Head | Axial plane | Image size 240x240
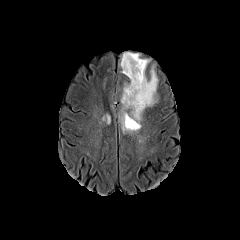
FLAIR MR image.
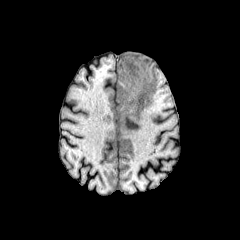
T1-weighted MR.
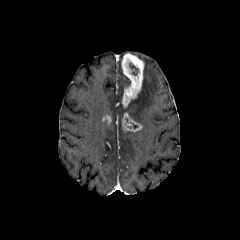
Same slice, post-contrast T1-weighted MR.
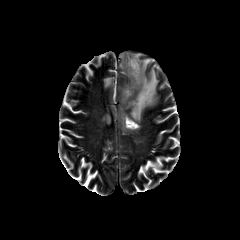
Same slice, T2-weighted MR image.
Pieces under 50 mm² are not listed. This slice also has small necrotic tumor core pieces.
<segmentation>
  <enhancing_tumor>121, 113, 141, 131; 121, 52, 144, 107</enhancing_tumor>
  <peritumoral_edema>119, 53, 158, 128</peritumoral_edema>
</segmentation>